Axial plane
FLAIR magnetic resonance.
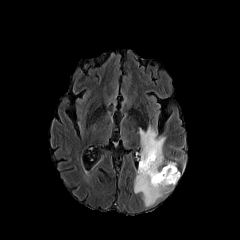
T1-weighted MR.
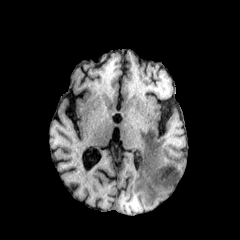
Post-contrast T1-weighted magnetic resonance.
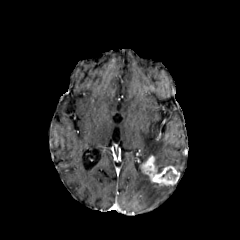
T2-weighted MR image.
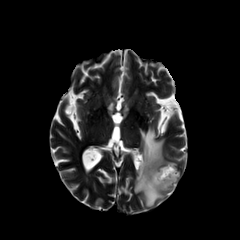
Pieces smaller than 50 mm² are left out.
enhancing tumor at l=140, t=155, r=179, b=185
necrotic tumor core at l=166, t=169, r=175, b=180
peritumoral edema at l=134, t=125, r=176, b=206